FLAIR MR image.
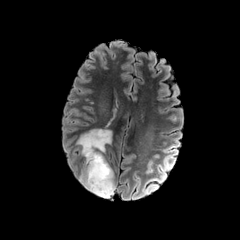
T1-weighted MRI.
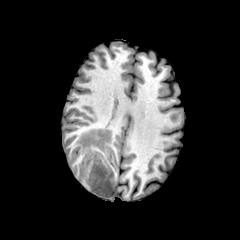
Post-contrast T1-weighted MRI.
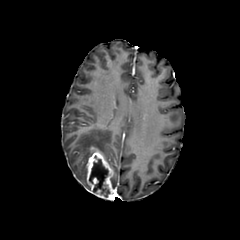
T2-weighted MRI.
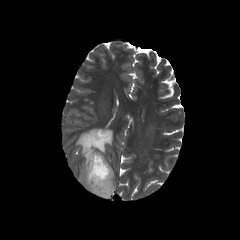
Head. 240x240 px.
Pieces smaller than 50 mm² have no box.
necrotic tumor core — l=89, t=159, r=109, b=197
enhancing tumor — l=86, t=147, r=115, b=198
peritumoral edema — l=76, t=128, r=112, b=188